FLAIR MR image.
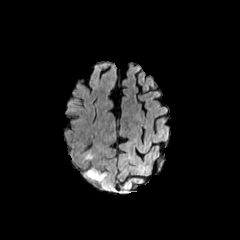
T1-weighted MR.
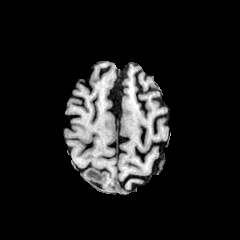
Post-contrast T1-weighted MR image.
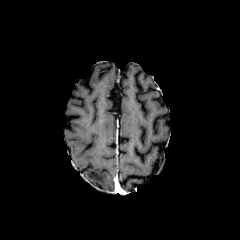
T2-weighted MRI.
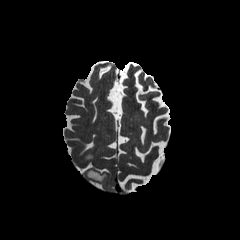
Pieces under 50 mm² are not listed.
peritumoral edema = region(86, 167, 106, 180)